FLAIR MRI.
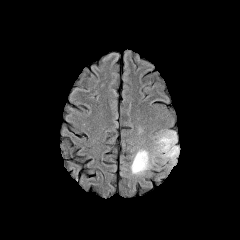
T1-weighted MR.
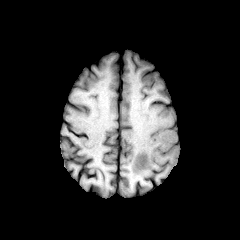
Post-contrast T1-weighted MR image.
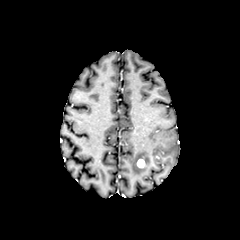
T2-weighted magnetic resonance.
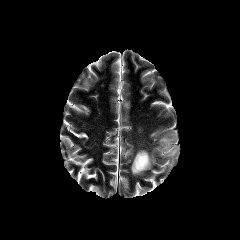
Image size 240x240. Head.
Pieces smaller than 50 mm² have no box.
<segmentation>
  <enhancing_tumor>(137,159,145,168)</enhancing_tumor>
  <peritumoral_edema>(154,130,179,167), (130,149,154,175)</peritumoral_edema>
</segmentation>